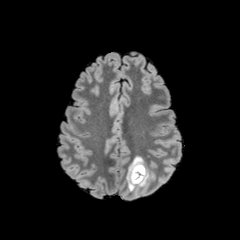
FLAIR magnetic resonance.
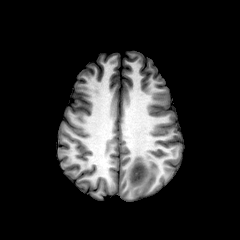
T1-weighted MRI of the same slice.
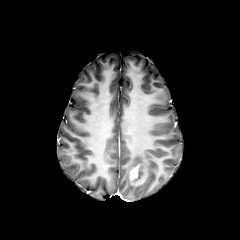
Post-contrast T1-weighted magnetic resonance.
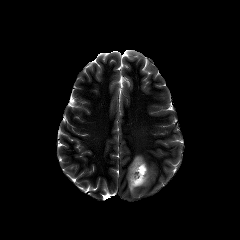
T2-weighted magnetic resonance.
Head; Image size 240x240; Axial view
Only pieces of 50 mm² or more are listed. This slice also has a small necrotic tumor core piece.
Annotated regions:
• peritumoral edema: x1=126, y1=156, x2=150, y2=191
• enhancing tumor: x1=129, y1=164, x2=147, y2=185